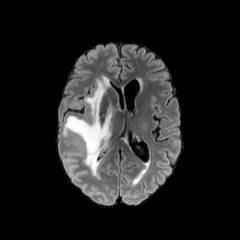
FLAIR MR.
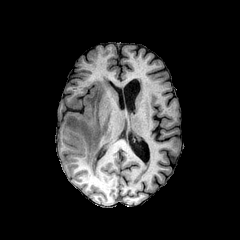
T1-weighted MRI of the same slice.
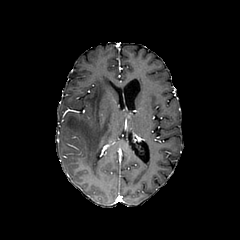
Post-contrast T1-weighted MR.
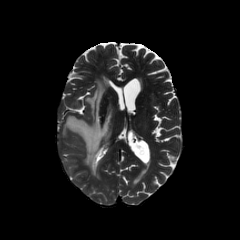
Same slice, T2-weighted MR image.
Axial slice
peritumoral edema: x1=63, y1=77, x2=117, y2=177